Slice 113/155 | Axial view | Image covers 240 mm x 240 mm
FLAIR MR.
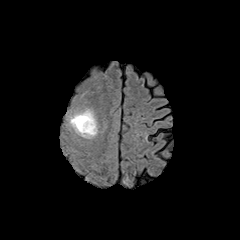
T1-weighted MR image.
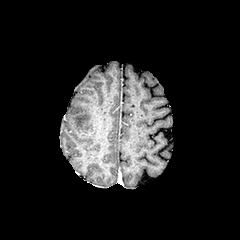
Post-contrast T1-weighted MRI.
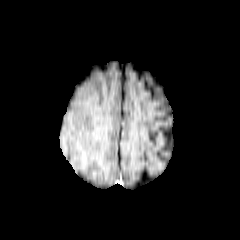
T2-weighted magnetic resonance.
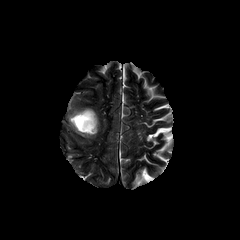
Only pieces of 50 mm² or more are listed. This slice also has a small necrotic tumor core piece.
The peritumoral edema is located at bbox=[68, 108, 97, 138].